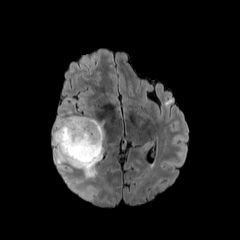
FLAIR magnetic resonance.
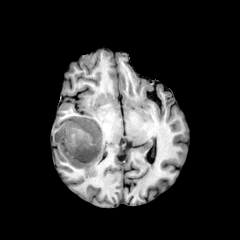
Same slice, T1-weighted MR.
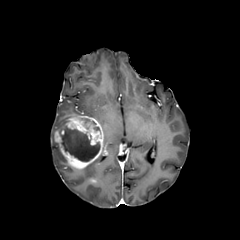
Post-contrast T1-weighted MR.
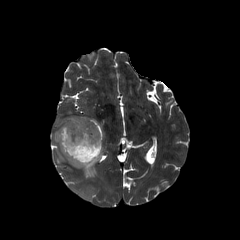
Same slice, T2-weighted MRI.
Head
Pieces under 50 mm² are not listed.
The 3 largest peritumoral edema regions appear at left=54, top=116, right=72, bottom=133; left=53, top=134, right=66, bottom=163; left=82, top=155, right=102, bottom=177. The largest necrotic tumor core region appears at left=60, top=127, right=100, bottom=161. The enhancing tumor lies within left=54, top=115, right=105, bottom=169.